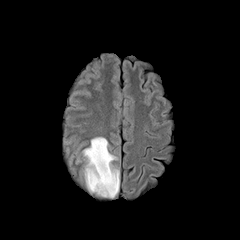
FLAIR MR.
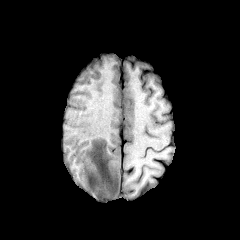
T1-weighted MRI.
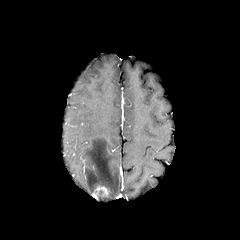
Post-contrast T1-weighted MR of the same slice.
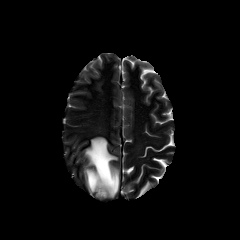
T2-weighted magnetic resonance.
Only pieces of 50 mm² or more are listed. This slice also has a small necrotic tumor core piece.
Annotated regions:
- peritumoral edema: x1=83, y1=137, x2=119, y2=198
- enhancing tumor: x1=92, y1=184, x2=111, y2=198